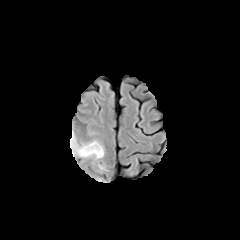
FLAIR MR.
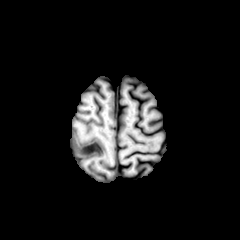
T1-weighted magnetic resonance.
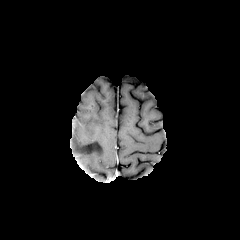
Post-contrast T1-weighted MRI.
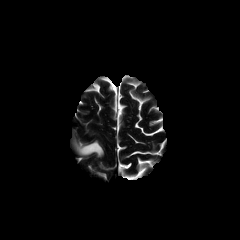
T2-weighted magnetic resonance of the same slice.
Axial view; 240x240 px; Brain
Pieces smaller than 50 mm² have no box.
The largest peritumoral edema region is located at 71:133:104:159.